240x240; Axial view
FLAIR magnetic resonance.
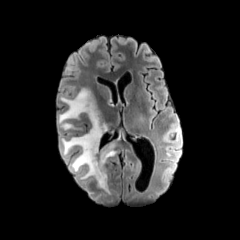
T1-weighted magnetic resonance.
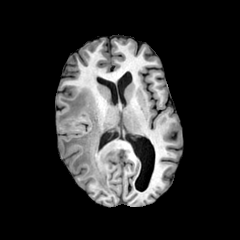
Post-contrast T1-weighted MR image.
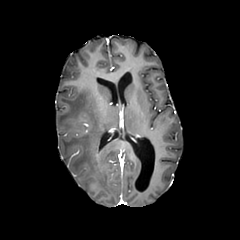
T2-weighted MR image.
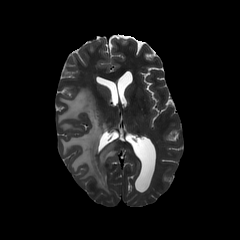
peritumoral_edema:
  - 58, 88, 116, 193